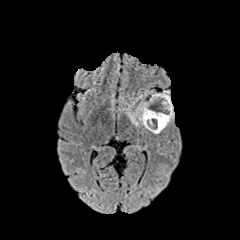
FLAIR MRI.
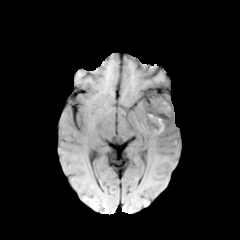
T1-weighted MR image.
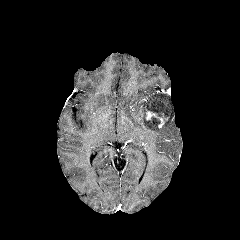
Post-contrast T1-weighted magnetic resonance.
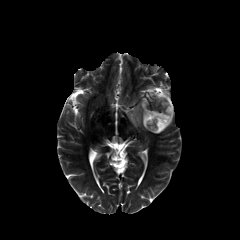
T2-weighted MR.
Findings:
- necrotic tumor core: region(146, 94, 168, 117); region(147, 117, 160, 129)
- enhancing tumor: region(146, 111, 168, 128)
- peritumoral edema: region(128, 93, 174, 133)